240x240 px. Head. Image width 240 mm, 1.00 mm slice spacing. Axial plane.
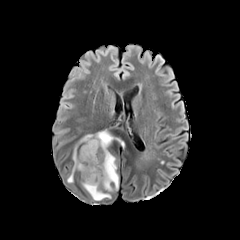
FLAIR magnetic resonance.
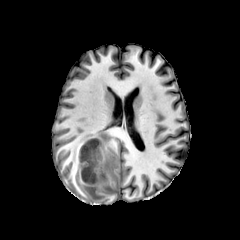
T1-weighted magnetic resonance.
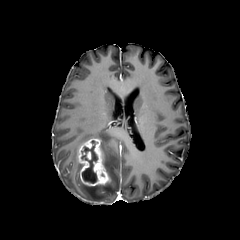
Same slice, post-contrast T1-weighted magnetic resonance.
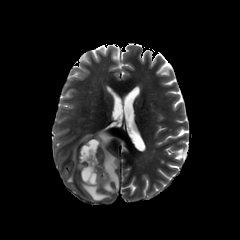
T2-weighted magnetic resonance.
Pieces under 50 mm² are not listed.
<segmentation>
  <enhancing_tumor>box=[78, 138, 110, 185]</enhancing_tumor>
  <peritumoral_edema>box=[82, 183, 110, 200]; box=[67, 130, 124, 192]</peritumoral_edema>
  <necrotic_tumor_core>box=[81, 140, 97, 183]</necrotic_tumor_core>
</segmentation>